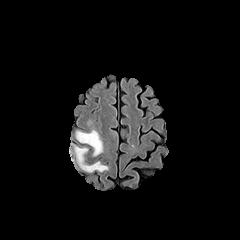
FLAIR MR image.
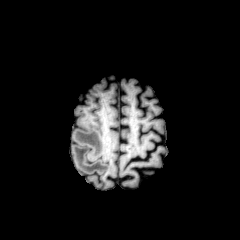
T1-weighted magnetic resonance.
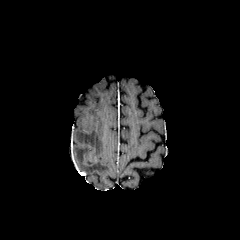
Post-contrast T1-weighted magnetic resonance.
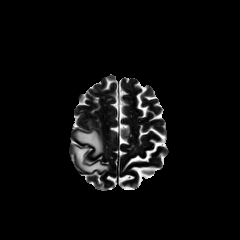
T2-weighted MR of the same slice.
Axial slice; Head
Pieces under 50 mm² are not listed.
peritumoral edema: (74,146,108,172), (75,129,103,156)